Slice index 63; 240x240 px
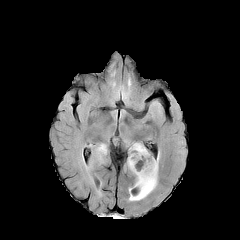
FLAIR MR.
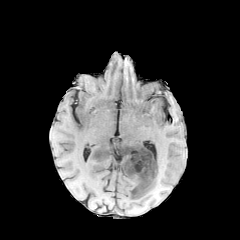
Same slice, T1-weighted MR image.
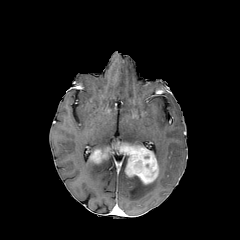
Post-contrast T1-weighted MR.
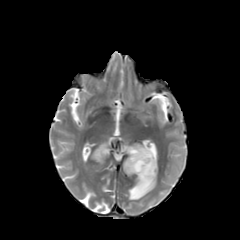
T2-weighted MRI.
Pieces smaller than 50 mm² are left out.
The largest peritumoral edema region appears at [x1=129, y1=176, x2=157, y2=200]. The enhancing tumor appears at [x1=90, y1=143, x2=158, y2=184].